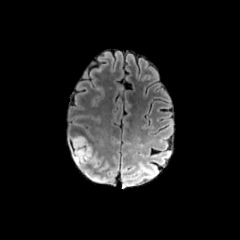
FLAIR magnetic resonance.
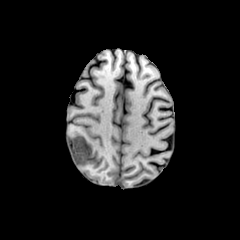
T1-weighted MR.
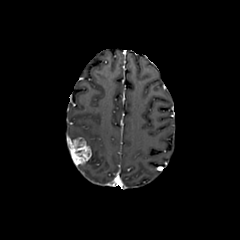
Post-contrast T1-weighted MR image.
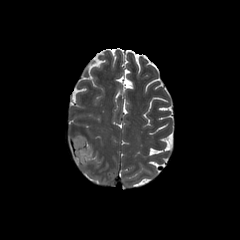
T2-weighted MR.
Axial slice
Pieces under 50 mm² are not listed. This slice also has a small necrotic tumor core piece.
The enhancing tumor is located at 67,137,91,165. The peritumoral edema is at 70,135,95,172.